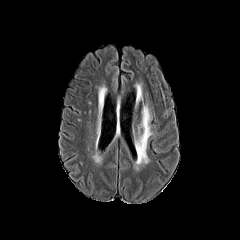
FLAIR MR image.
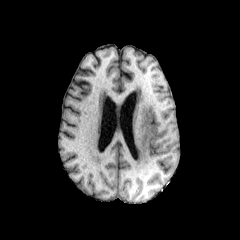
Same slice, T1-weighted MR.
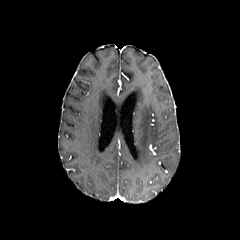
Post-contrast T1-weighted magnetic resonance.
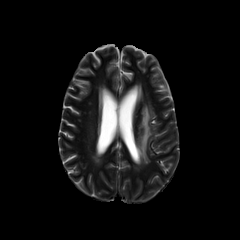
T2-weighted MRI of the same slice.
Head
peritumoral edema — [x1=136, y1=105, x2=152, y2=162]